Image width 240 mm
FLAIR MR image.
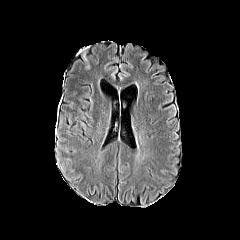
T1-weighted magnetic resonance.
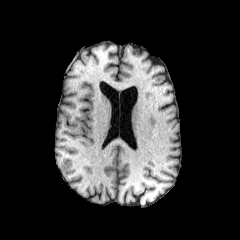
Post-contrast T1-weighted MRI.
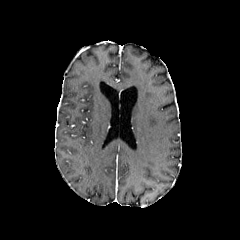
T2-weighted MR image.
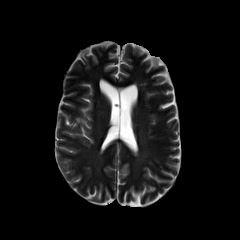
peritumoral edema = (82, 49, 91, 70)